240x240, Slice 68/155, Image covers 240 mm x 240 mm
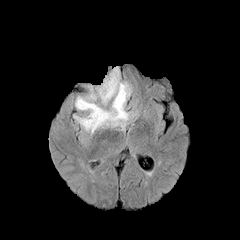
FLAIR magnetic resonance.
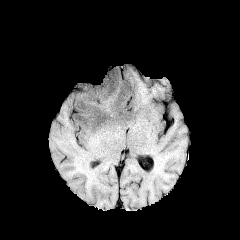
T1-weighted MR.
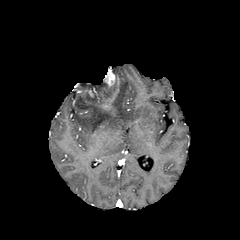
Post-contrast T1-weighted MRI.
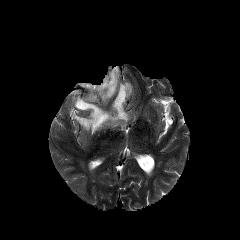
T2-weighted magnetic resonance of the same slice.
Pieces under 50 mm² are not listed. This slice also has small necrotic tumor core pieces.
The largest peritumoral edema region appears at <bbox>74, 66, 131, 133</bbox>. The largest enhancing tumor region is located at <bbox>103, 69, 118, 87</bbox>.